Brain
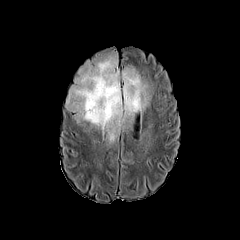
FLAIR MRI.
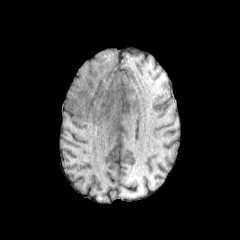
T1-weighted MR image of the same slice.
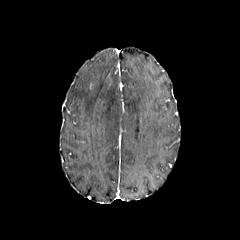
Same slice, post-contrast T1-weighted MRI.
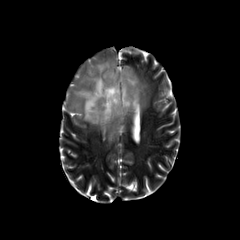
Same slice, T2-weighted MR image.
peritumoral edema = (left=67, top=58, right=150, bottom=141)